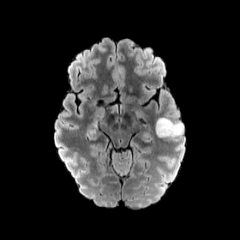
FLAIR magnetic resonance.
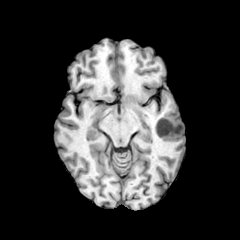
T1-weighted MRI.
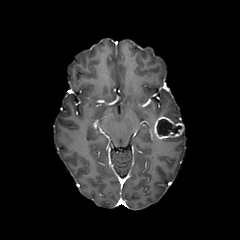
Post-contrast T1-weighted MRI of the same slice.
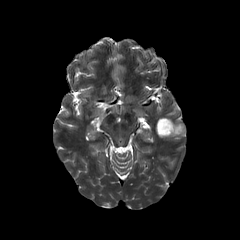
Same slice, T2-weighted MR image.
Head, 240x240 px
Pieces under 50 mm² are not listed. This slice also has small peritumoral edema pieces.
enhancing tumor: bounding box bbox(154, 116, 184, 138)
necrotic tumor core: bounding box bbox(157, 119, 181, 135)